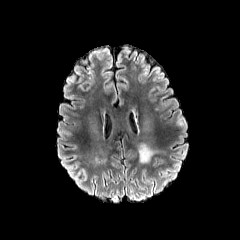
FLAIR MR.
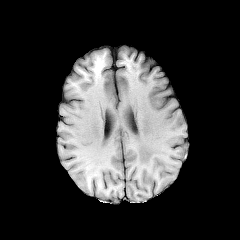
Same slice, T1-weighted MRI.
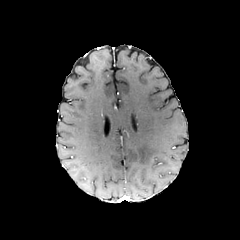
Post-contrast T1-weighted MR of the same slice.
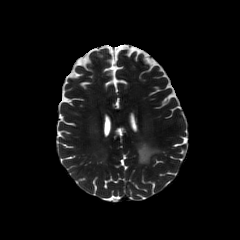
T2-weighted MRI.
Brain. 240x240 px.
The peritumoral edema is located at l=138, t=144, r=155, b=162.